FLAIR MRI.
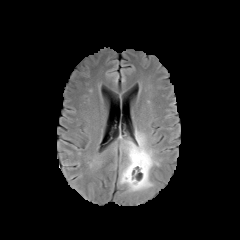
T1-weighted MR.
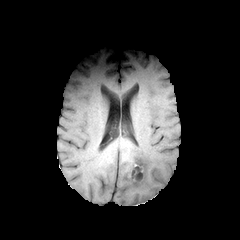
Post-contrast T1-weighted MR.
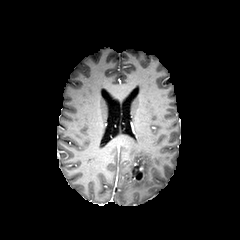
T2-weighted MR image.
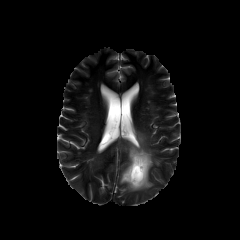
Head | Axial slice
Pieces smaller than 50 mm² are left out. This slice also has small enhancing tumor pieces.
{
  "peritumoral_edema": [
    "119:131:159:191"
  ],
  "necrotic_tumor_core": [
    "132:165:142:179"
  ]
}